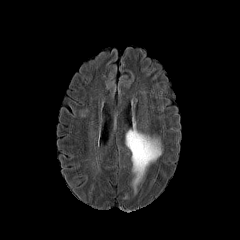
FLAIR MR.
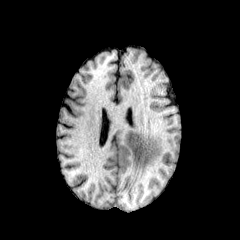
T1-weighted magnetic resonance of the same slice.
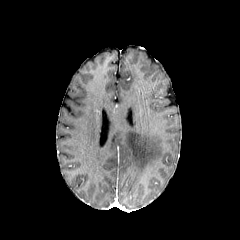
Post-contrast T1-weighted magnetic resonance.
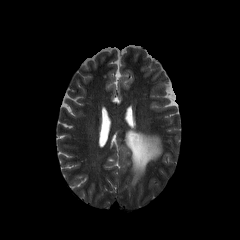
Same slice, T2-weighted MRI.
Image size 240x240; Axial plane
{
  "peritumoral_edema": [
    "bbox(125, 128, 162, 192)"
  ]
}